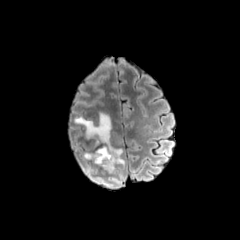
FLAIR MR image.
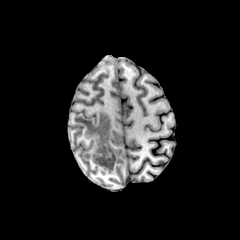
T1-weighted MR.
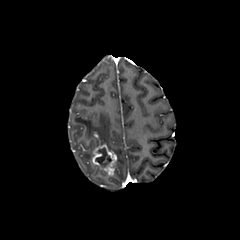
Post-contrast T1-weighted MR image.
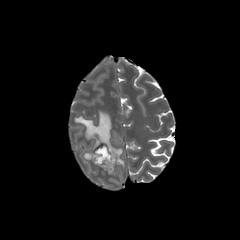
T2-weighted MRI.
Brain
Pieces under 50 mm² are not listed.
The largest peritumoral edema region is at {"x1": 74, "y1": 112, "x2": 124, "y2": 167}. The largest enhancing tumor region is located at {"x1": 91, "y1": 144, "x2": 117, "y2": 175}. The necrotic tumor core lies within {"x1": 95, "y1": 148, "x2": 111, "y2": 166}.